FLAIR MR.
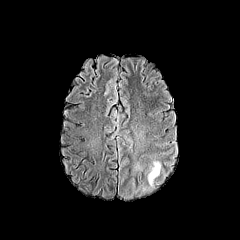
T1-weighted magnetic resonance.
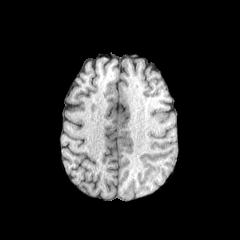
Post-contrast T1-weighted MR image.
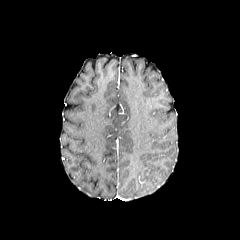
T2-weighted MR image.
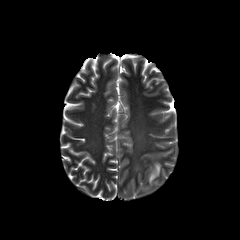
• peritumoral edema: 148 163 160 184